240x240 | Head
FLAIR magnetic resonance.
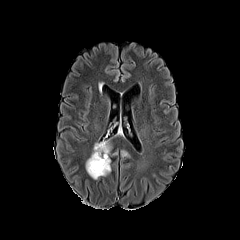
T1-weighted MRI.
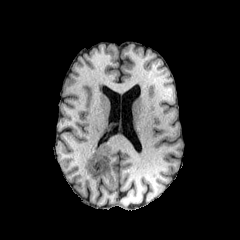
Post-contrast T1-weighted MRI.
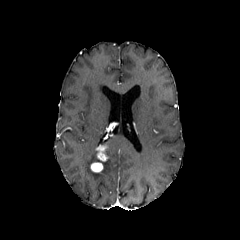
T2-weighted magnetic resonance.
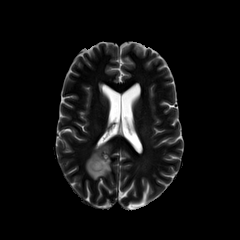
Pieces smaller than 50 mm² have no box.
peritumoral edema: <bbox>86, 143, 110, 179</bbox>
enhancing tumor: <bbox>90, 144, 108, 172</bbox>